Axial view, Head, 240x240 px
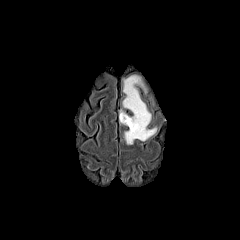
FLAIR MRI.
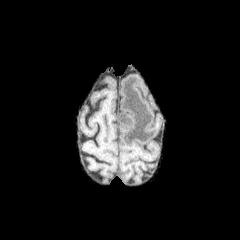
Same slice, T1-weighted MR.
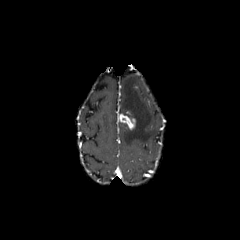
Post-contrast T1-weighted MRI.
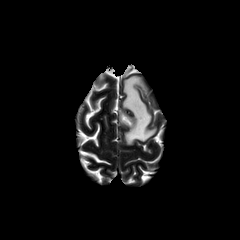
T2-weighted MR of the same slice.
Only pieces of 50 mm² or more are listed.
<segmentation>
  <peritumoral_edema>(118,73,157,144)</peritumoral_edema>
  <enhancing_tumor>(118,113,135,129)</enhancing_tumor>
</segmentation>